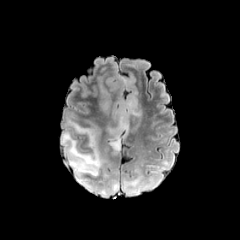
FLAIR magnetic resonance.
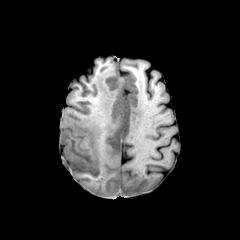
T1-weighted magnetic resonance of the same slice.
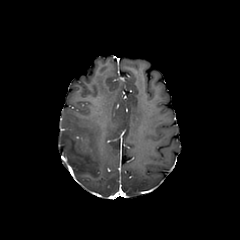
Post-contrast T1-weighted MRI.
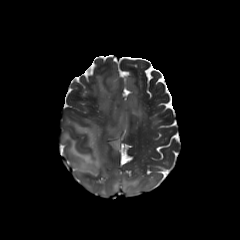
T2-weighted magnetic resonance of the same slice.
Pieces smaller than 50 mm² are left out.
The 4 largest peritumoral edema regions are located at (102, 100, 109, 110), (122, 173, 154, 195), (107, 96, 141, 154), (61, 118, 119, 196).